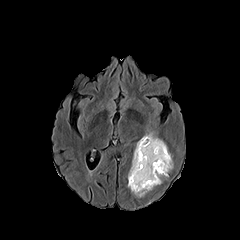
FLAIR magnetic resonance.
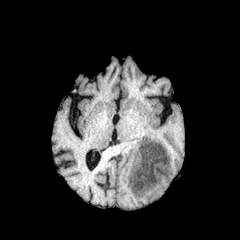
T1-weighted MRI.
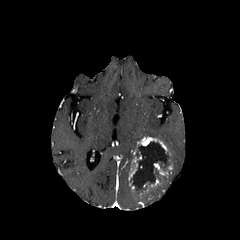
Post-contrast T1-weighted MR.
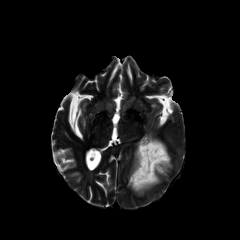
T2-weighted magnetic resonance of the same slice.
240x240.
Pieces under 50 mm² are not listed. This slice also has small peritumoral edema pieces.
The 4 largest enhancing tumor regions are bounded by l=137, t=136, r=168, b=154; l=143, t=175, r=160, b=193; l=128, t=149, r=141, b=192; l=153, t=161, r=172, b=176. The necrotic tumor core is at l=130, t=142, r=170, b=193.